Head
FLAIR magnetic resonance.
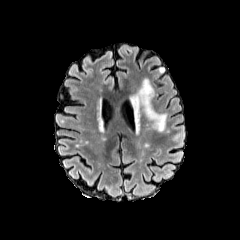
T1-weighted magnetic resonance.
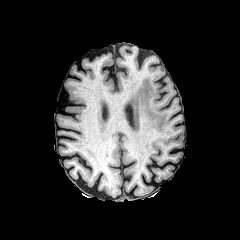
Post-contrast T1-weighted MR.
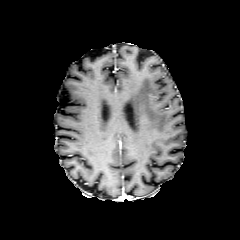
T2-weighted MR.
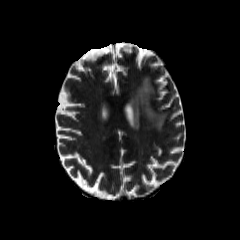
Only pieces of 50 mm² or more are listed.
The largest peritumoral edema region is located at <bbox>131, 78, 166, 133</bbox>.